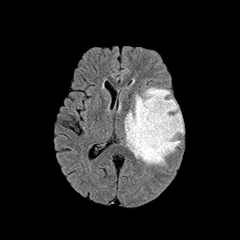
FLAIR magnetic resonance.
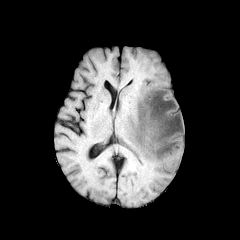
T1-weighted MR.
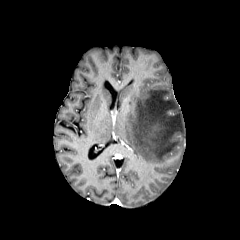
Post-contrast T1-weighted MR image.
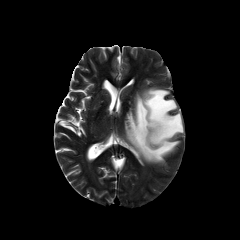
T2-weighted magnetic resonance.
240x240.
• peritumoral edema: 124,87,183,164